Image covers 240 mm x 240 mm | 240x240 px | Slice 61 of 155
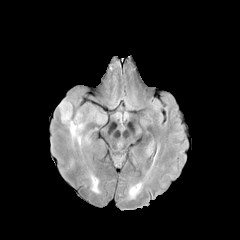
FLAIR MR.
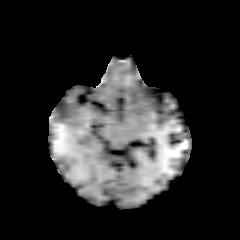
Same slice, T1-weighted MR.
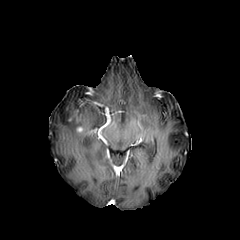
Post-contrast T1-weighted MRI of the same slice.
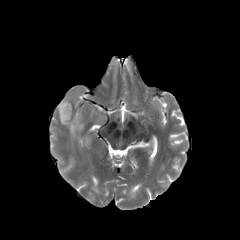
T2-weighted MR.
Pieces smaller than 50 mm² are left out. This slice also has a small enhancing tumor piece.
Findings:
• peritumoral edema: rect(58, 99, 84, 144)